FLAIR MR.
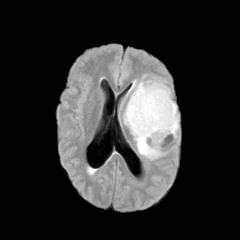
T1-weighted MRI.
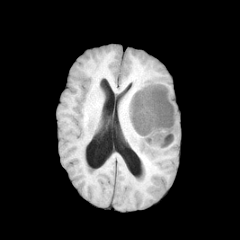
Post-contrast T1-weighted MRI.
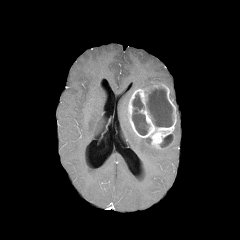
T2-weighted MR image.
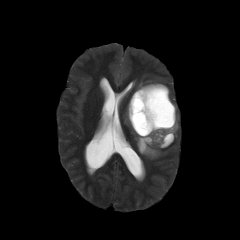
Head
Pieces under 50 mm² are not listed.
Annotated regions:
- enhancing tumor: 128 84 176 148
- necrotic tumor core: 160 135 173 147, 146 86 172 127, 132 93 148 135
- peritumoral edema: 129 77 163 92, 123 104 162 159, 173 113 178 137